240x240, Axial plane, Slice index 98
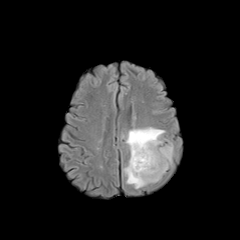
FLAIR MR.
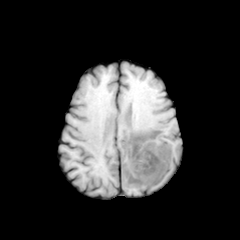
Same slice, T1-weighted magnetic resonance.
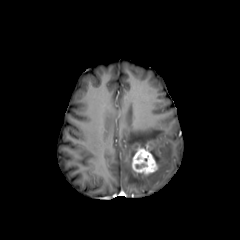
Post-contrast T1-weighted MRI.
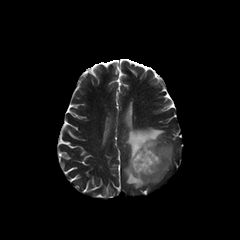
T2-weighted magnetic resonance.
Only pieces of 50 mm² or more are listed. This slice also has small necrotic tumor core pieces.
* peritumoral edema: 123:127:173:188
* enhancing tumor: 132:140:157:174